FLAIR MR image.
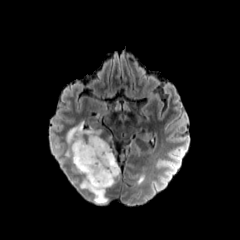
T1-weighted MR image.
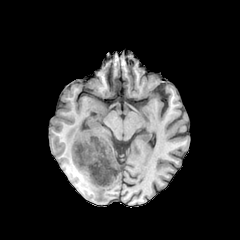
Post-contrast T1-weighted MR.
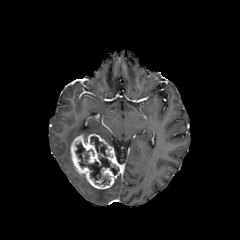
T2-weighted MR.
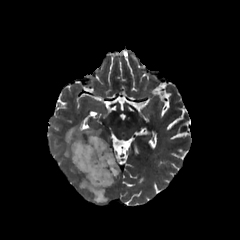
Axial plane; 240x240
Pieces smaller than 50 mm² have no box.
The 2 largest necrotic tumor core regions are bounded by region(90, 136, 107, 156); region(75, 142, 118, 180). The enhancing tumor appears at region(70, 133, 120, 189). The 2 largest peritumoral edema regions are bounded by region(65, 122, 102, 158); region(80, 175, 107, 203).